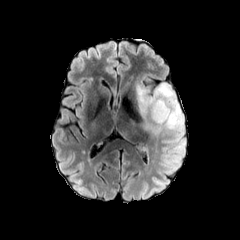
FLAIR MR.
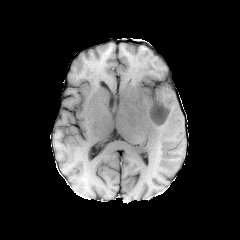
Same slice, T1-weighted MR.
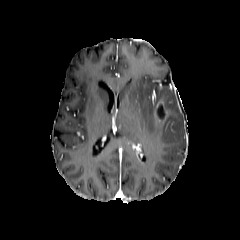
Post-contrast T1-weighted magnetic resonance of the same slice.
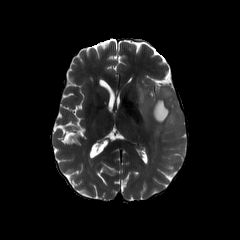
T2-weighted MRI.
Brain
• peritumoral edema: bbox(136, 81, 183, 134)
• necrotic tumor core: bbox(156, 104, 165, 119)
• enhancing tumor: bbox(153, 101, 168, 122)